Axial view, Image covers 240 mm x 240 mm, Head
FLAIR MRI.
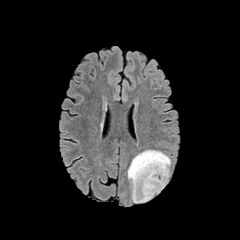
T1-weighted MR image.
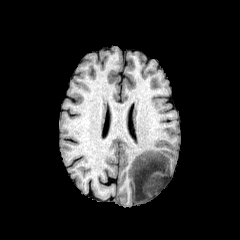
Post-contrast T1-weighted MRI.
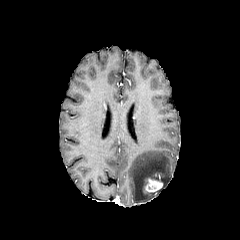
T2-weighted magnetic resonance.
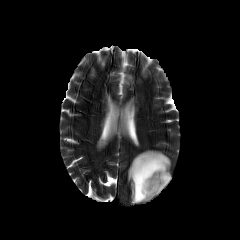
Segmented structures:
- peritumoral edema: [127,150,170,202]
- enhancing tumor: [142,178,163,193]